240x240 px | Slice 109 of 155 | Axial view
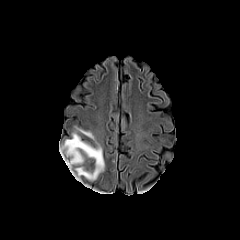
FLAIR magnetic resonance.
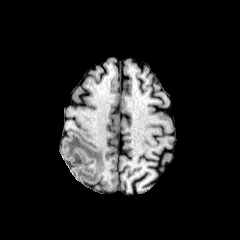
T1-weighted MRI of the same slice.
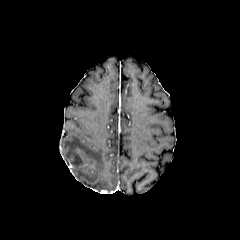
Post-contrast T1-weighted MR.
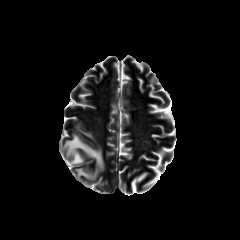
T2-weighted MR image of the same slice.
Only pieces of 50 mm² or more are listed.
The 2 largest peritumoral edema regions appear at {"x1": 77, "y1": 128, "x2": 94, "y2": 139}, {"x1": 62, "y1": 133, "x2": 104, "y2": 180}.